FLAIR MRI.
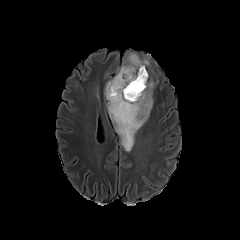
T1-weighted MR image.
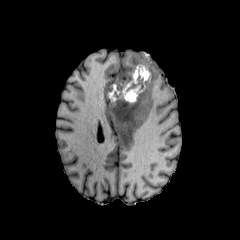
Post-contrast T1-weighted MR.
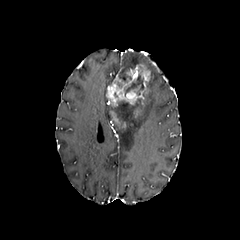
T2-weighted magnetic resonance.
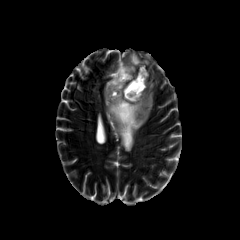
240x240.
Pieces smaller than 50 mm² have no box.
Segmented structures:
- peritumoral edema: left=104, top=75, right=115, bottom=99; left=122, top=53, right=148, bottom=69; left=106, top=78, right=159, bottom=152
- enhancing tumor: left=106, top=64, right=148, bottom=107; left=133, top=107, right=141, bottom=117; left=110, top=111, right=125, bottom=128
- necrotic tumor core: left=125, top=74, right=144, bottom=96; left=112, top=100, right=138, bottom=122; left=119, top=68, right=131, bottom=82